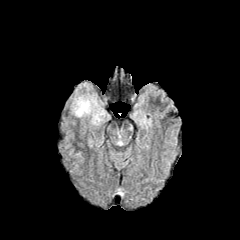
FLAIR MR image.
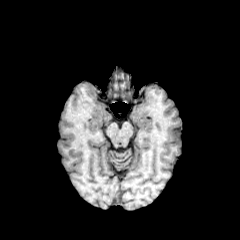
T1-weighted MRI.
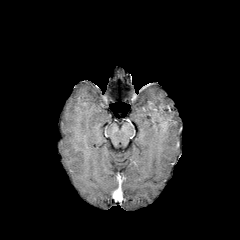
Post-contrast T1-weighted MR image.
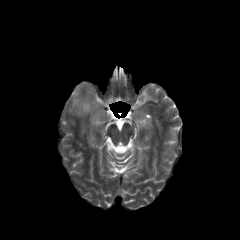
T2-weighted MR.
Axial slice, Head, 240x240
peritumoral edema: left=72, top=94, right=108, bottom=125